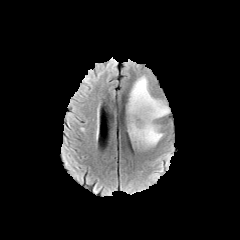
FLAIR MRI.
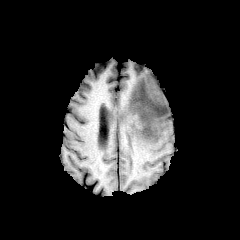
Same slice, T1-weighted MR.
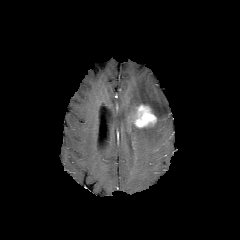
Post-contrast T1-weighted MR of the same slice.
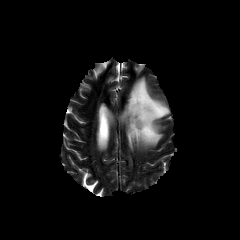
T2-weighted MRI of the same slice.
240x240 px
enhancing tumor — (134,104,156,127)
peritumoral edema — (126,76,170,148)